Slice 97 of 155, Axial view, Head, Image width 240 mm, 1.00 mm slice spacing
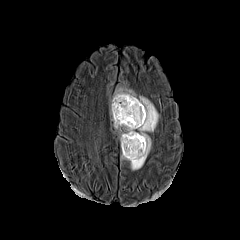
FLAIR MR image.
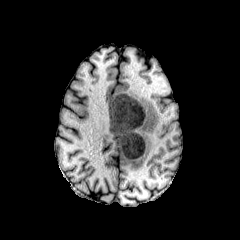
Same slice, T1-weighted magnetic resonance.
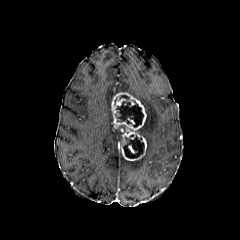
Post-contrast T1-weighted magnetic resonance of the same slice.
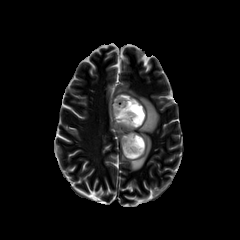
T2-weighted MRI.
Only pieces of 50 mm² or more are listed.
{"peritumoral_edema": ["region(110, 110, 124, 141)", "region(115, 87, 159, 170)"], "enhancing_tumor": ["region(111, 92, 146, 160)"], "necrotic_tumor_core": ["region(116, 100, 143, 127)", "region(123, 135, 144, 158)"]}